FLAIR MR image.
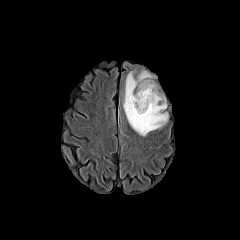
T1-weighted MRI.
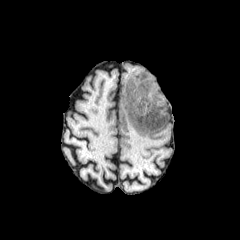
Post-contrast T1-weighted MR image.
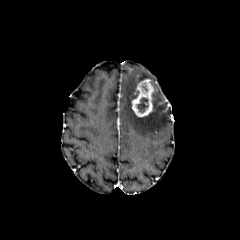
T2-weighted MR image.
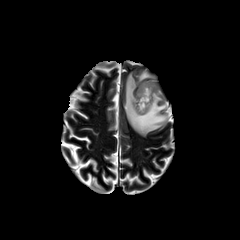
240x240 | Brain
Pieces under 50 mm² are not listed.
peritumoral_edema:
  - left=123, top=70, right=168, bottom=136
enhancing_tumor:
  - left=131, top=79, right=153, bottom=117
necrotic_tumor_core:
  - left=137, top=97, right=148, bottom=112